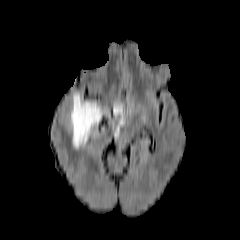
FLAIR MR image.
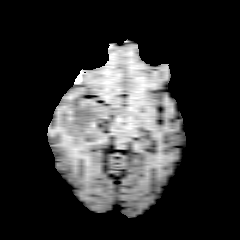
Same slice, T1-weighted magnetic resonance.
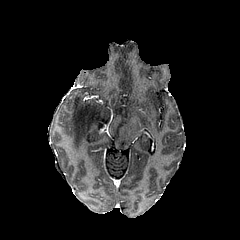
Post-contrast T1-weighted MRI.
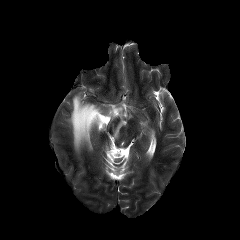
Same slice, T2-weighted MR.
<segmentation>
  <peritumoral_edema>(x1=69, y1=93, x2=109, y2=149), (x1=114, y1=120, x2=124, y2=137)</peritumoral_edema>
</segmentation>